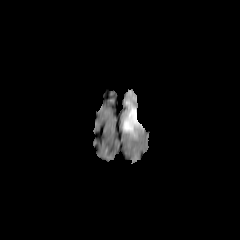
FLAIR magnetic resonance.
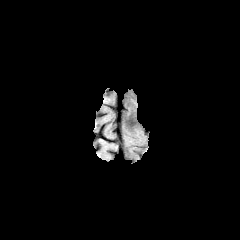
T1-weighted magnetic resonance.
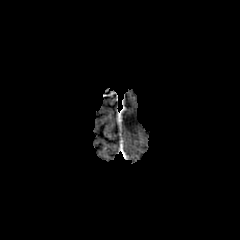
Same slice, post-contrast T1-weighted MRI.
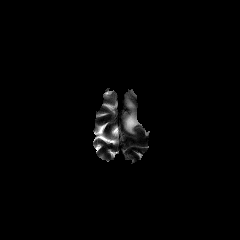
T2-weighted MRI.
• peritumoral edema: 123 99 141 134